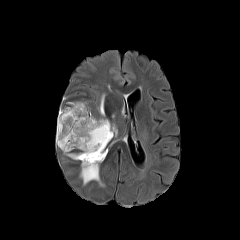
FLAIR MR.
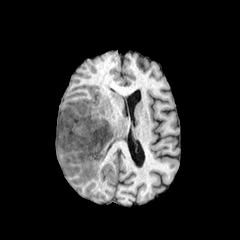
Same slice, T1-weighted MRI.
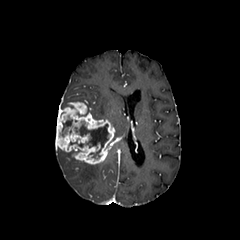
Post-contrast T1-weighted MRI.
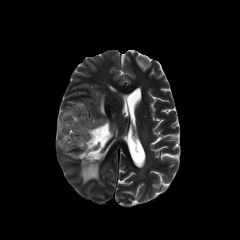
Same slice, T2-weighted MR.
240x240; Head; Axial view
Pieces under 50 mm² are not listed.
Segmented structures:
* necrotic tumor core: l=62, t=120, r=72, b=131; l=75, t=124, r=108, b=148
* enhancing tumor: l=56, t=101, r=115, b=164
* peritumoral edema: l=98, t=94, r=104, b=116; l=80, t=162, r=104, b=186